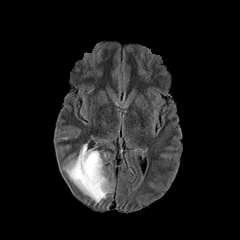
FLAIR magnetic resonance.
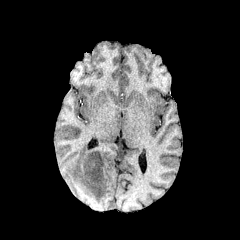
T1-weighted MR of the same slice.
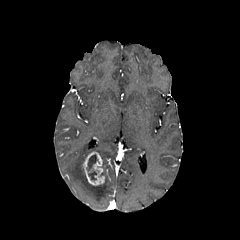
Post-contrast T1-weighted MRI.
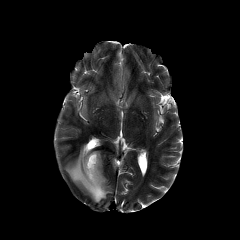
Same slice, T2-weighted MR.
Brain. Axial view.
<segmentation>
  <peritumoral_edema>64, 144, 111, 203</peritumoral_edema>
  <necrotic_tumor_core>86, 154, 98, 180</necrotic_tumor_core>
  <enhancing_tumor>83, 151, 104, 185</enhancing_tumor>
</segmentation>